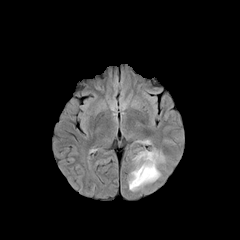
FLAIR MR.
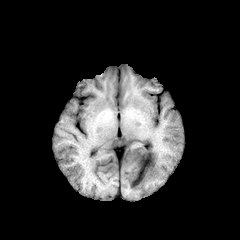
Same slice, T1-weighted magnetic resonance.
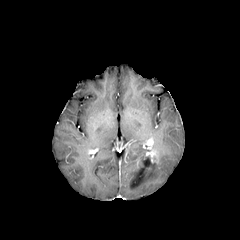
Post-contrast T1-weighted magnetic resonance.
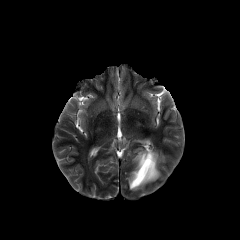
T2-weighted MR image of the same slice.
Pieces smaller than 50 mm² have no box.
The largest peritumoral edema region appears at bbox=[128, 148, 164, 190]. The largest enhancing tumor region lies within bbox=[137, 150, 157, 165]. The necrotic tumor core is at bbox=[141, 156, 153, 168].